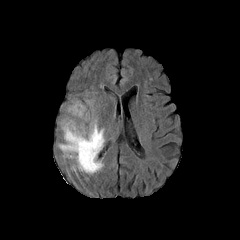
FLAIR magnetic resonance.
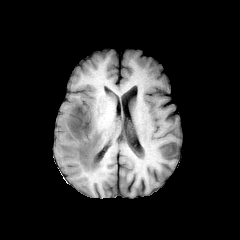
T1-weighted MR image.
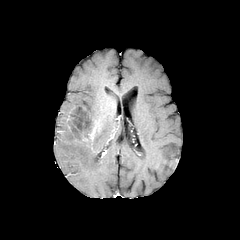
Same slice, post-contrast T1-weighted MR.
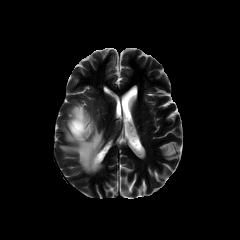
Same slice, T2-weighted MR.
Axial slice; Brain; 240x240
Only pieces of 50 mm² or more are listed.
enhancing tumor = <box>67,105,96,140</box>
necrotic tumor core = <box>68,120,81,138</box>, <box>69,107,95,137</box>
peritumoral edema = <box>67,101,85,113</box>, <box>59,119,104,173</box>